Slice 37 of 155, Head
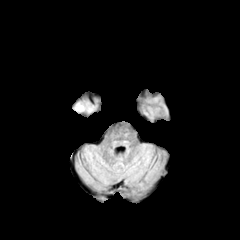
FLAIR MRI.
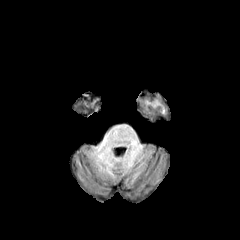
Same slice, T1-weighted MR.
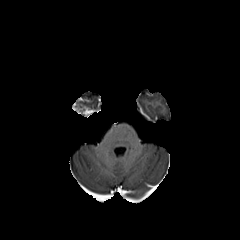
Same slice, post-contrast T1-weighted MR image.
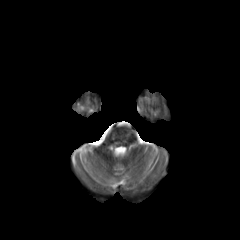
T2-weighted MR of the same slice.
The enhancing tumor is located at l=73, t=104, r=91, b=113.